Head; Slice 76 of 155; Axial slice
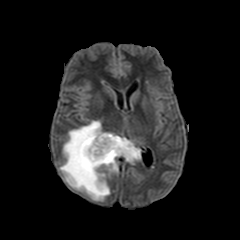
FLAIR MR.
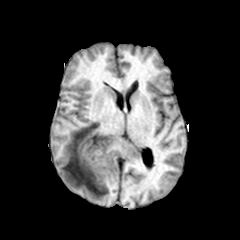
T1-weighted MR image.
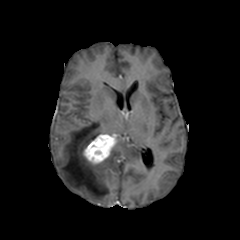
Post-contrast T1-weighted MR image.
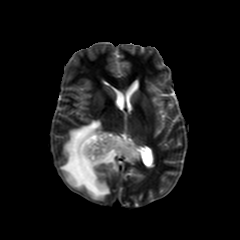
Same slice, T2-weighted MR.
{"peritumoral_edema": ["region(59, 120, 141, 200)"], "enhancing_tumor": ["region(83, 134, 117, 164)"]}